Brain. Axial slice.
FLAIR MR.
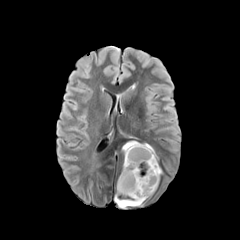
T1-weighted MRI.
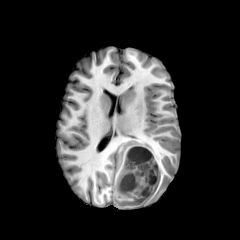
Post-contrast T1-weighted MRI.
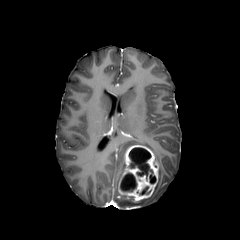
T2-weighted MR.
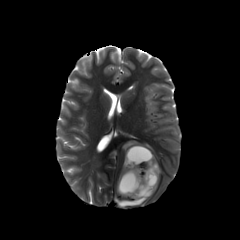
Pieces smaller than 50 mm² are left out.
enhancing tumor: bounding box box=[118, 145, 159, 202]
necrotic tumor core: bounding box box=[120, 173, 136, 191]; box=[129, 147, 156, 183]
peritumoral edema: bounding box box=[114, 195, 145, 207]; box=[122, 141, 158, 163]